Image width 240 mm
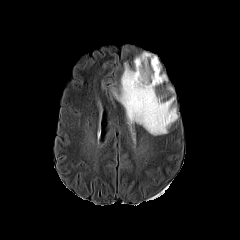
FLAIR MR image.
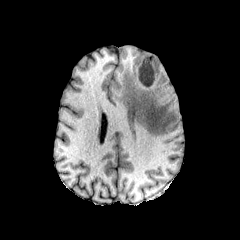
Same slice, T1-weighted magnetic resonance.
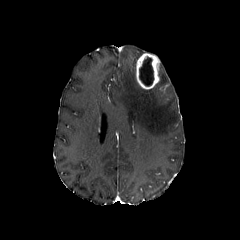
Post-contrast T1-weighted MR image of the same slice.
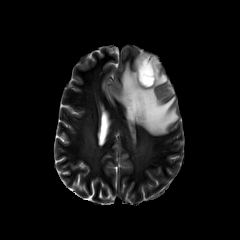
T2-weighted MR image.
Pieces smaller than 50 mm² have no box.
• enhancing tumor: (136, 52, 160, 89)
• necrotic tumor core: (139, 57, 153, 86)
• peritumoral edema: (111, 63, 178, 135)